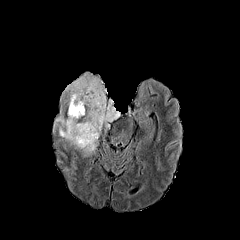
FLAIR MR.
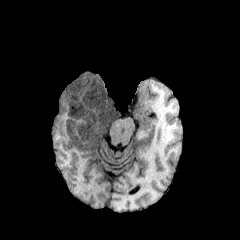
T1-weighted MRI of the same slice.
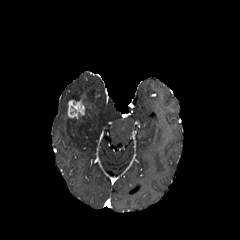
Post-contrast T1-weighted MR of the same slice.
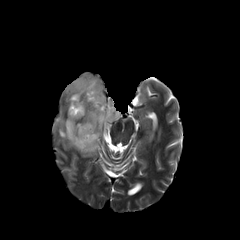
T2-weighted MRI of the same slice.
Head; Image size 240x240
{"peritumoral_edema": ["x1=56, y1=73, x2=119, y2=153"], "enhancing_tumor": ["x1=67, y1=95, x2=86, y2=118"]}